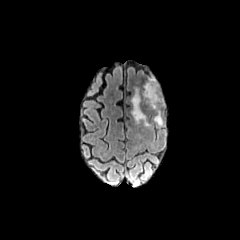
FLAIR magnetic resonance.
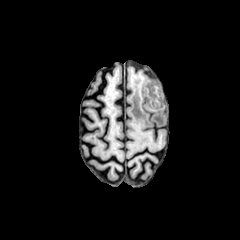
Same slice, T1-weighted MR image.
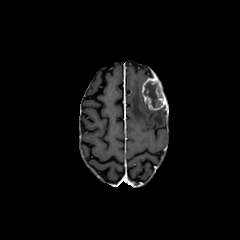
Same slice, post-contrast T1-weighted MRI.
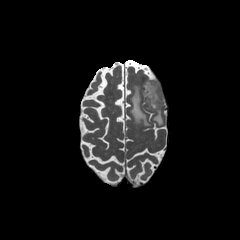
T2-weighted MR image.
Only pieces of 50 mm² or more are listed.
{"enhancing_tumor": ["(left=141, top=77, right=166, bottom=110)"], "necrotic_tumor_core": ["(left=144, top=81, right=160, bottom=107)"], "peritumoral_edema": ["(left=153, top=109, right=163, bottom=125)", "(left=131, top=87, right=150, bottom=126)"]}